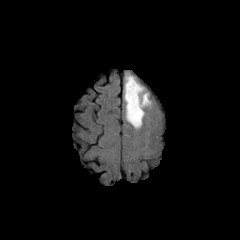
FLAIR magnetic resonance.
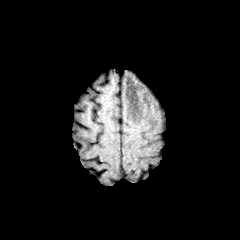
Same slice, T1-weighted MR.
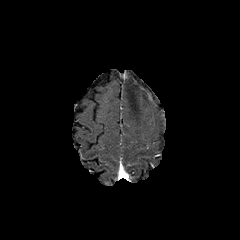
Post-contrast T1-weighted MR image.
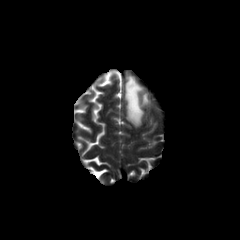
T2-weighted MR image.
Head
peritumoral edema: {"x1": 124, "y1": 75, "x2": 150, "y2": 127}